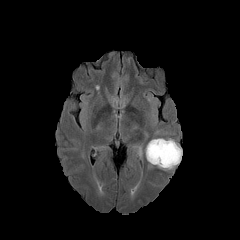
FLAIR magnetic resonance.
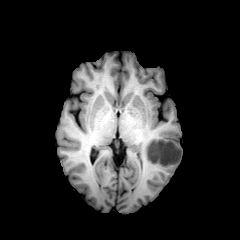
T1-weighted MR image.
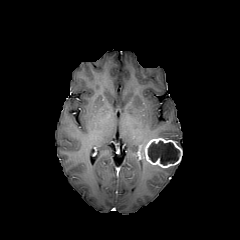
Same slice, post-contrast T1-weighted MR image.
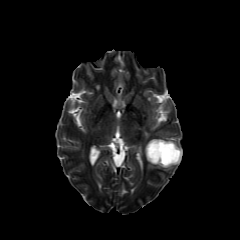
T2-weighted MR.
Brain
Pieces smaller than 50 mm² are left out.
<segmentation>
  <necrotic_tumor_core>(148,141,179,165)</necrotic_tumor_core>
  <peritumoral_edema>(148,163,174,170)</peritumoral_edema>
  <enhancing_tumor>(144,138,182,167)</enhancing_tumor>
</segmentation>